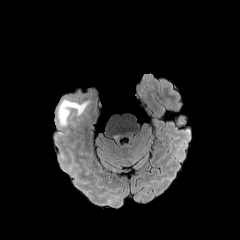
FLAIR magnetic resonance.
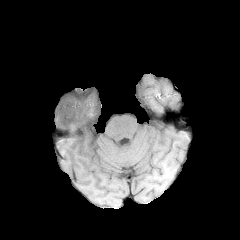
Same slice, T1-weighted MRI.
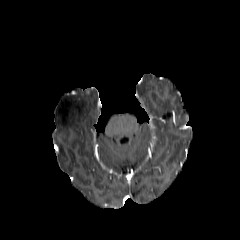
Post-contrast T1-weighted MR.
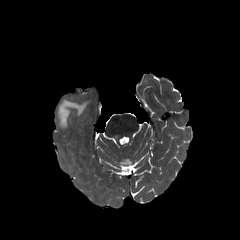
T2-weighted MR.
Axial view
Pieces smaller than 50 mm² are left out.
Segmented structures:
• peritumoral edema: (57,98,87,126)